Slice 42 of 155. Image width 240 mm, 1.00 mm slice spacing. Brain. Axial slice.
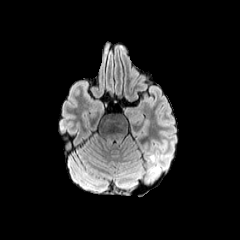
FLAIR MR.
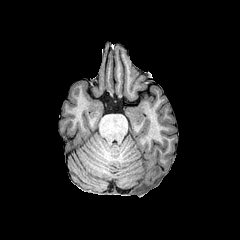
T1-weighted magnetic resonance.
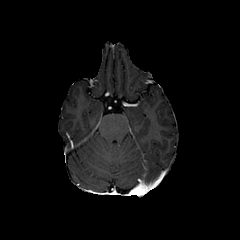
Same slice, post-contrast T1-weighted magnetic resonance.
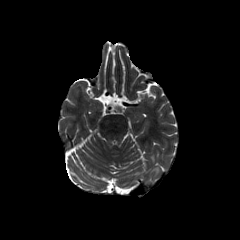
T2-weighted MRI of the same slice.
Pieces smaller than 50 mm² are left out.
peritumoral edema at (left=150, top=166, right=159, bottom=176)